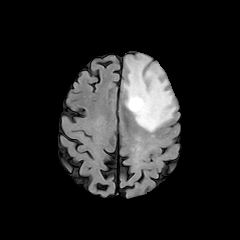
FLAIR magnetic resonance.
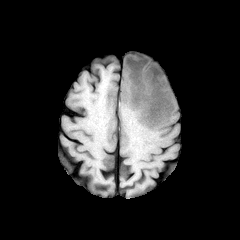
T1-weighted MR.
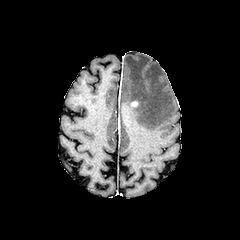
Post-contrast T1-weighted MR image of the same slice.
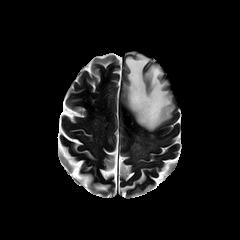
Same slice, T2-weighted magnetic resonance.
Head, Image size 240x240, Axial slice
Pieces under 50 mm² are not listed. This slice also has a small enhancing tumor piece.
Segmented structures:
* peritumoral edema: bbox=[123, 54, 175, 131]